Image width 240 mm; Head; Axial view
FLAIR magnetic resonance.
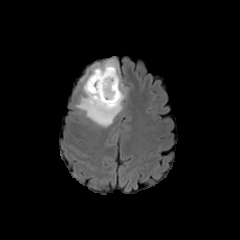
T1-weighted MR.
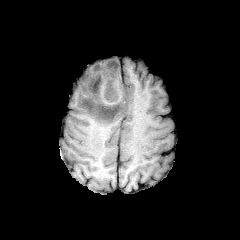
Post-contrast T1-weighted MR.
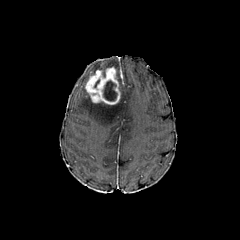
T2-weighted magnetic resonance.
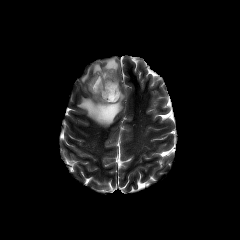
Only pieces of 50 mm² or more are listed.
The peritumoral edema lies within (77, 58, 126, 127). The largest necrotic tumor core region is located at (103, 81, 117, 101). The enhancing tumor is located at (85, 66, 120, 104).